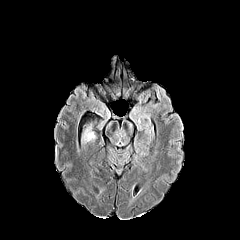
FLAIR MR.
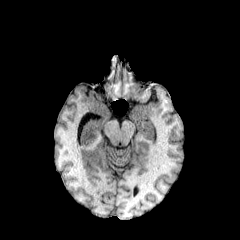
T1-weighted MR image.
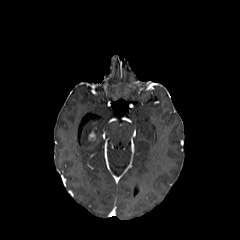
Post-contrast T1-weighted MR image.
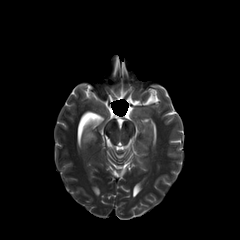
T2-weighted MR image.
Axial plane. Brain. Image size 240x240.
The peritumoral edema is at bbox=[82, 127, 91, 143]. The enhancing tumor is located at bbox=[88, 132, 95, 140].